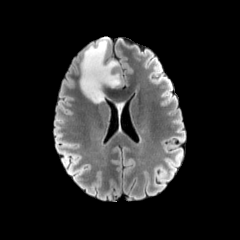
FLAIR MR image.
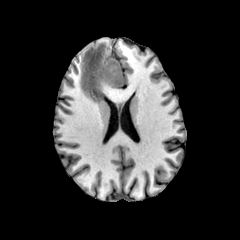
T1-weighted MR image of the same slice.
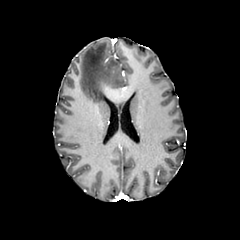
Same slice, post-contrast T1-weighted MRI.
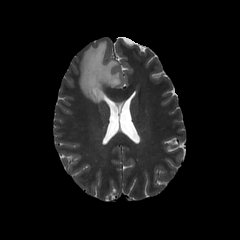
T2-weighted MRI.
Image size 240x240. Axial view.
peritumoral_edema:
  - left=80, top=38, right=122, bottom=102